FLAIR MR image.
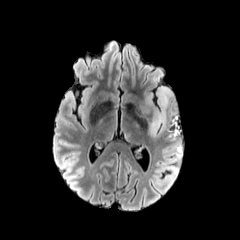
T1-weighted MR image.
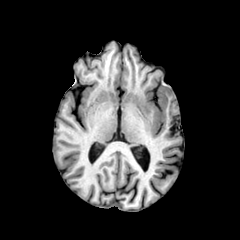
Post-contrast T1-weighted MRI.
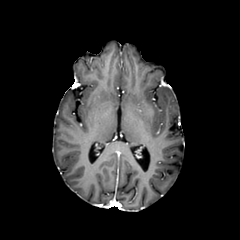
T2-weighted magnetic resonance.
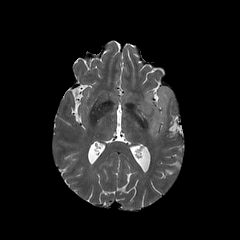
Axial view, Brain
peritumoral edema: 145,86,172,135